Brain | 240x240 | Image width 240 mm | Axial view
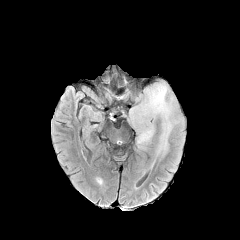
FLAIR magnetic resonance.
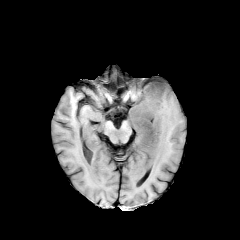
T1-weighted MRI.
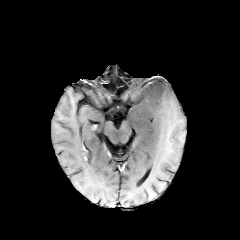
Post-contrast T1-weighted MR image of the same slice.
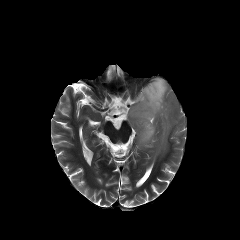
T2-weighted MR image.
peritumoral edema: bounding box bbox=[129, 76, 184, 160]